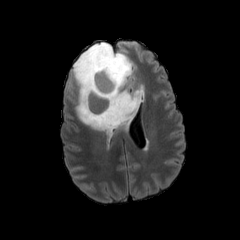
FLAIR MR image.
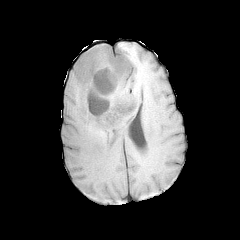
Same slice, T1-weighted magnetic resonance.
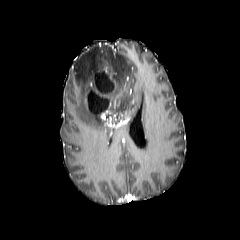
Post-contrast T1-weighted magnetic resonance.
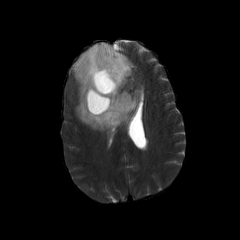
T2-weighted MR image.
Axial plane
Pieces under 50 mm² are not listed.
{"necrotic_tumor_core": ["rect(88, 90, 108, 114)", "rect(94, 72, 113, 92)"], "peritumoral_edema": ["rect(72, 42, 140, 134)"], "enhancing_tumor": ["rect(85, 66, 129, 127)"]}